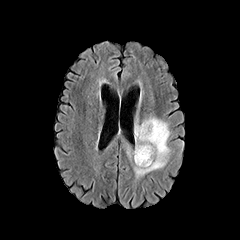
FLAIR magnetic resonance.
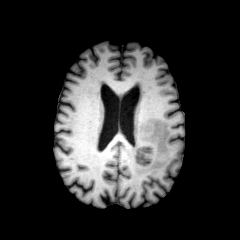
Same slice, T1-weighted MR image.
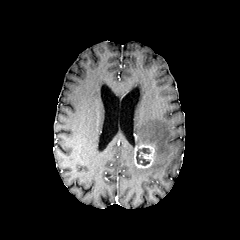
Post-contrast T1-weighted MRI.
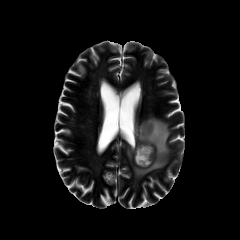
T2-weighted MR image of the same slice.
Head
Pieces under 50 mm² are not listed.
Findings:
- enhancing tumor: 134, 144, 154, 168
- peritumoral edema: 133, 114, 171, 182; 126, 145, 134, 166
- necrotic tumor core: 136, 148, 150, 165